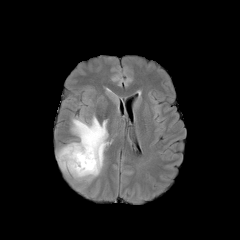
FLAIR MR image.
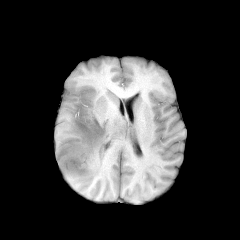
T1-weighted magnetic resonance of the same slice.
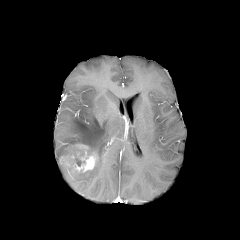
Post-contrast T1-weighted magnetic resonance of the same slice.
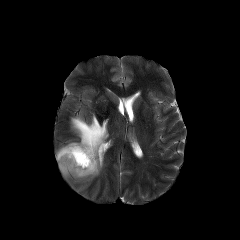
T2-weighted MRI.
Head
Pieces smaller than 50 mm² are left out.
- enhancing tumor: [59, 144, 97, 173]
- peritumoral edema: [56, 115, 108, 181]
- necrotic tumor core: [73, 149, 84, 166]